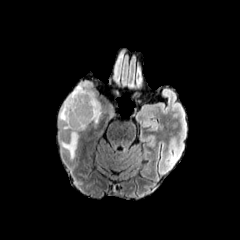
FLAIR magnetic resonance.
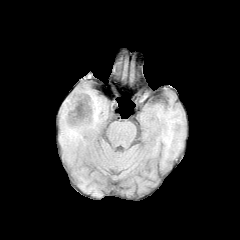
T1-weighted MR image.
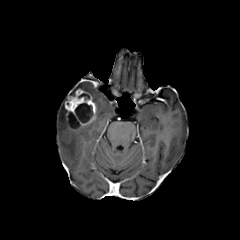
Post-contrast T1-weighted MRI.
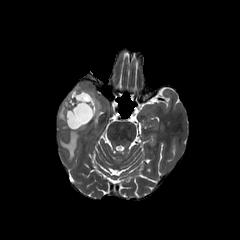
T2-weighted MRI.
Head. 240x240 px.
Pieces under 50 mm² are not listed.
necrotic tumor core: bbox(68, 111, 79, 127); bbox(75, 103, 92, 122)
enhancing tumor: bbox(64, 88, 96, 130)
peritumoral edema: bbox(69, 82, 100, 123); bbox(60, 125, 87, 159); bbox(59, 97, 68, 129)